Image covers 240 mm x 240 mm | Head
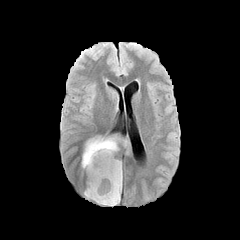
FLAIR MRI.
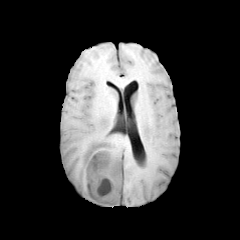
T1-weighted MR.
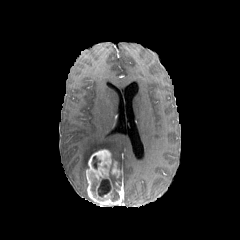
Same slice, post-contrast T1-weighted MR.
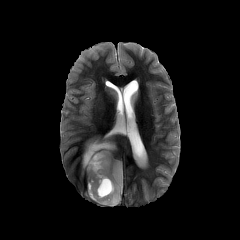
T2-weighted MRI.
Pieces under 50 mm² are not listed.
peritumoral edema: <bbox>109, 159, 122, 188</bbox>, <bbox>82, 134, 131, 168</bbox> | enhancing tumor: <bbox>86, 149, 122, 206</bbox>, <bbox>111, 161, 122, 178</bbox> | necrotic tumor core: <bbox>92, 156, 100, 168</bbox>, <bbox>98, 178, 111, 196</bbox>